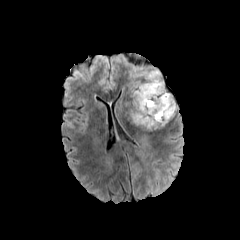
FLAIR MRI.
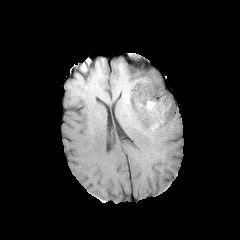
T1-weighted magnetic resonance of the same slice.
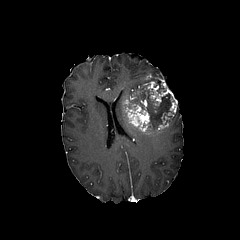
Post-contrast T1-weighted MRI.
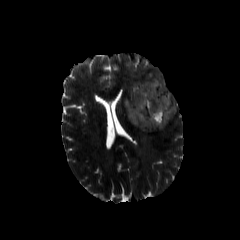
Same slice, T2-weighted magnetic resonance.
Brain
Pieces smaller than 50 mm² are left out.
<segmentation>
  <enhancing_tumor>{"x1": 143, "y1": 74, "x2": 178, "y2": 130}, {"x1": 121, "y1": 95, "x2": 153, "y2": 134}, {"x1": 131, "y1": 87, "x2": 139, "y2": 95}</enhancing_tumor>
  <necrotic_tumor_core>{"x1": 155, "y1": 81, "x2": 166, "y2": 93}, {"x1": 130, "y1": 84, "x2": 173, "y2": 127}</necrotic_tumor_core>
  <peritumoral_edema>{"x1": 137, "y1": 70, "x2": 160, "y2": 77}</peritumoral_edema>
</segmentation>